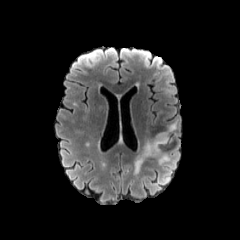
FLAIR magnetic resonance.
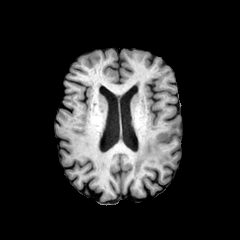
T1-weighted magnetic resonance of the same slice.
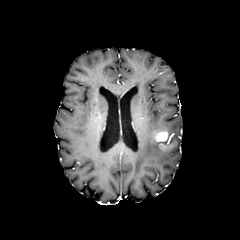
Post-contrast T1-weighted MR image.
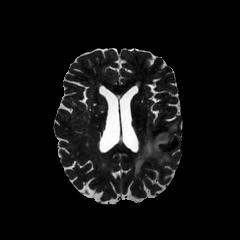
T2-weighted magnetic resonance.
Axial slice | Head
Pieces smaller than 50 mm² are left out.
Findings:
* enhancing tumor: <box>155,131,169,145</box>
* peritumoral edema: <box>163,120,178,145</box>, <box>132,136,168,175</box>